FLAIR MRI.
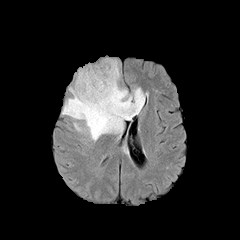
T1-weighted magnetic resonance.
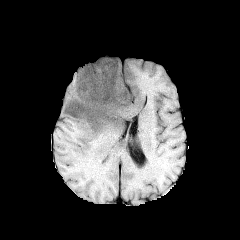
Post-contrast T1-weighted MR.
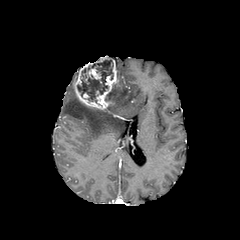
T2-weighted magnetic resonance.
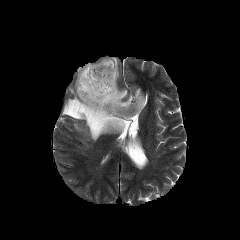
Axial slice. Brain.
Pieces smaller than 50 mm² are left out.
necrotic tumor core: 77:60:113:102 | peritumoral edema: 114:59:119:79, 62:84:144:140 | enhancing tumor: 74:56:118:110, 85:67:101:81